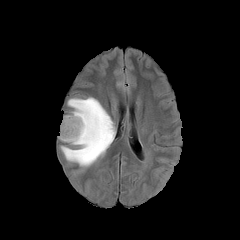
FLAIR magnetic resonance.
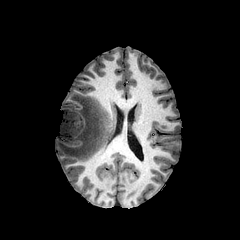
Same slice, T1-weighted MRI.
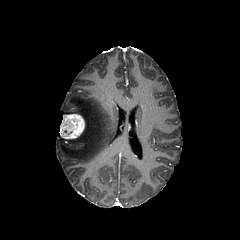
Same slice, post-contrast T1-weighted magnetic resonance.
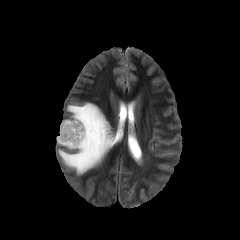
T2-weighted MR image of the same slice.
Axial plane, Brain
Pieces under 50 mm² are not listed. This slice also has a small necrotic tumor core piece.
The peritumoral edema lies within {"x1": 59, "y1": 98, "x2": 115, "y2": 169}. The enhancing tumor is located at {"x1": 59, "y1": 114, "x2": 84, "y2": 138}.